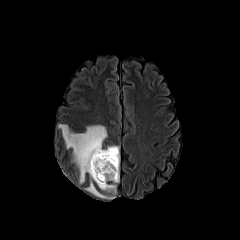
FLAIR MR image.
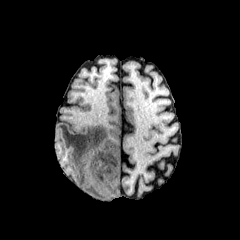
T1-weighted magnetic resonance.
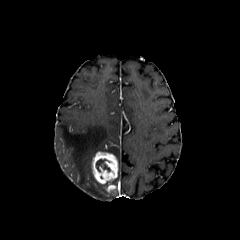
Post-contrast T1-weighted MR image.
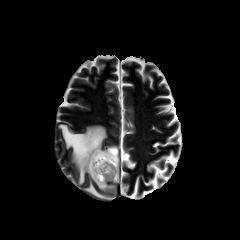
T2-weighted MRI of the same slice.
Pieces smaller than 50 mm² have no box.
<segmentation>
  <peritumoral_edema>58, 124, 119, 199</peritumoral_edema>
  <enhancing_tumor>91, 151, 118, 193</enhancing_tumor>
  <necrotic_tumor_core>96, 159, 110, 171</necrotic_tumor_core>
</segmentation>